FLAIR magnetic resonance.
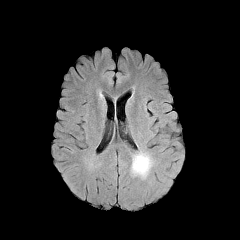
T1-weighted magnetic resonance.
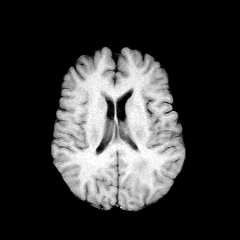
Post-contrast T1-weighted MR image.
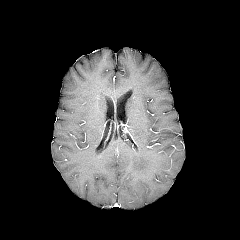
T2-weighted MR image.
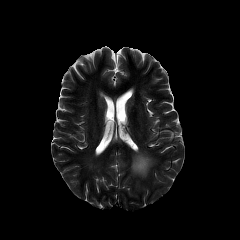
peritumoral_edema:
  - (131,152,153,177)